Slice 45 of 155; Head; Image size 240x240
FLAIR MRI.
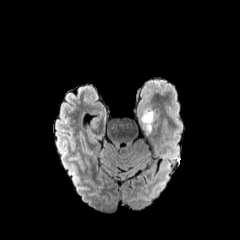
T1-weighted MRI.
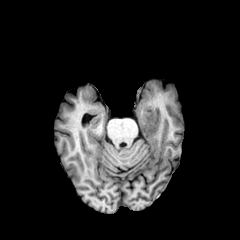
Post-contrast T1-weighted magnetic resonance.
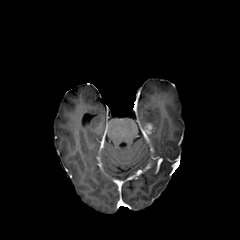
T2-weighted MR.
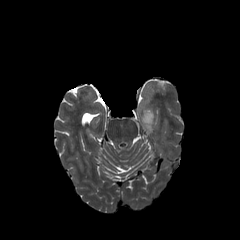
enhancing_tumor:
  - (144,124,152,135)
peritumoral_edema:
  - (140,112,154,132)